FLAIR MR.
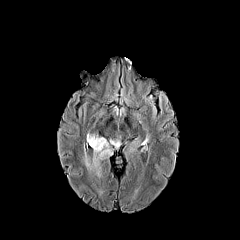
T1-weighted MR image.
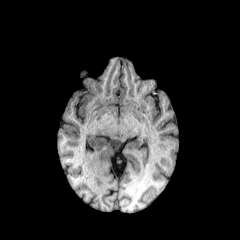
Post-contrast T1-weighted MRI.
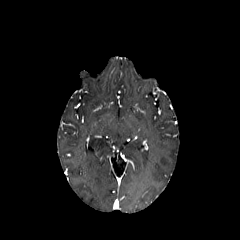
T2-weighted MR image.
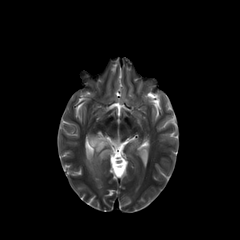
Brain | Axial slice | 240x240
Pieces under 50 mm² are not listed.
The 2 largest peritumoral edema regions appear at bbox(110, 140, 120, 146); bbox(89, 135, 111, 166).